FLAIR MR.
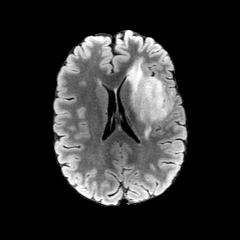
T1-weighted magnetic resonance.
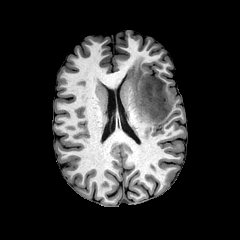
Post-contrast T1-weighted MR.
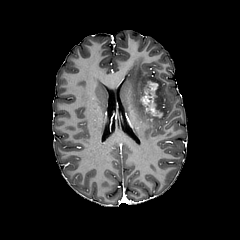
T2-weighted MR image.
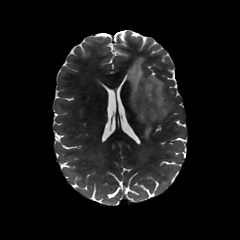
Brain | Image size 240x240
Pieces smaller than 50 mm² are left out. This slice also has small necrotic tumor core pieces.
• enhancing tumor: box=[141, 81, 162, 117]
• peritumoral edema: box=[127, 59, 171, 137]